FLAIR magnetic resonance.
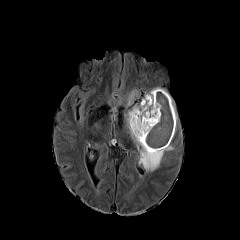
T1-weighted MRI.
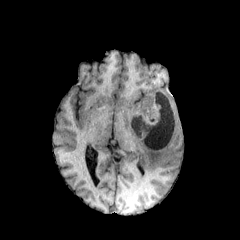
Post-contrast T1-weighted magnetic resonance.
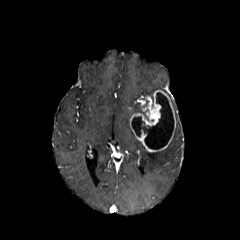
T2-weighted MRI.
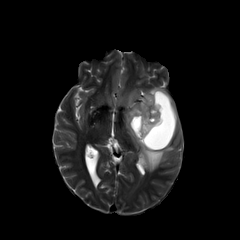
Brain.
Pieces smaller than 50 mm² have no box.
enhancing tumor: [x1=129, y1=90, x2=176, y2=152] | peritumoral edema: [x1=127, y1=90, x2=138, y2=105], [x1=125, y1=103, x2=174, y2=171], [x1=145, y1=87, x2=166, y2=108] | necrotic tumor core: [x1=131, y1=92, x2=173, y2=149]